FLAIR magnetic resonance.
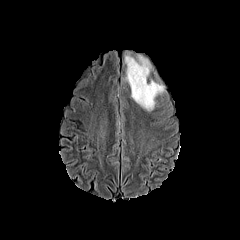
T1-weighted magnetic resonance.
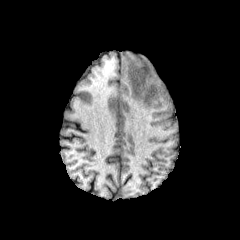
Post-contrast T1-weighted MR.
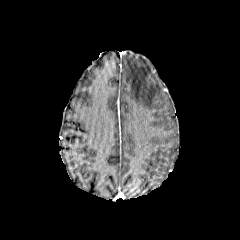
T2-weighted MRI.
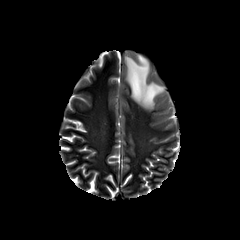
Axial slice, 240x240, Head
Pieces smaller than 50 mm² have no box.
peritumoral edema: bounding box bbox(124, 52, 165, 111)